Image covers 240 mm x 240 mm | Slice 79/155
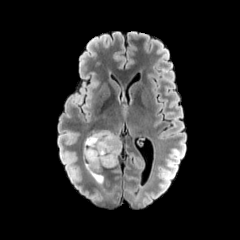
FLAIR magnetic resonance.
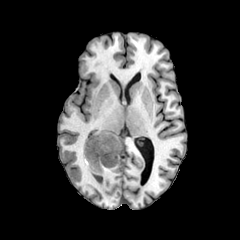
Same slice, T1-weighted MRI.
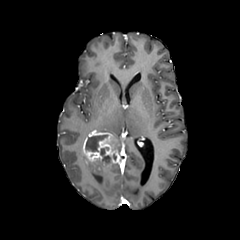
Post-contrast T1-weighted MR image of the same slice.
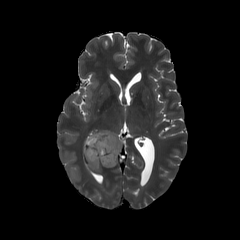
Same slice, T2-weighted MR image.
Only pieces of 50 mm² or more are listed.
peritumoral edema at 83:154:116:184, 97:130:120:151
enhancing tumor at 83:131:119:166
necrotic tumor core at 100:147:110:163, 85:135:107:151